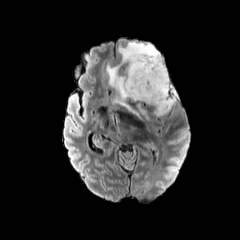
FLAIR MRI.
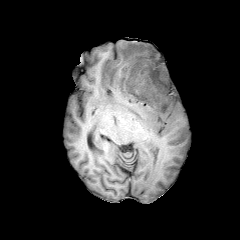
T1-weighted MRI of the same slice.
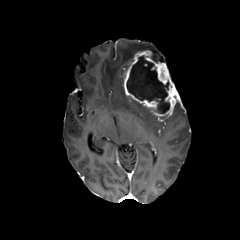
Post-contrast T1-weighted MR.
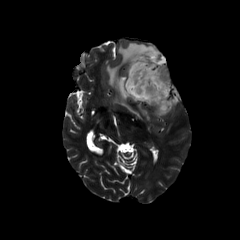
Same slice, T2-weighted MR.
Brain; Image size 240x240; Axial view
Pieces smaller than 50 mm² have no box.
- necrotic tumor core: x1=126, y1=55, x2=169, y2=113
- enhancing tumor: x1=123, y1=50, x2=179, y2=118
- peritumoral edema: x1=106, y1=41, x2=164, y2=119; x1=136, y1=103, x2=148, y2=119